Image size 240x240, Brain, Slice index 68, Image width 240 mm
FLAIR MR image.
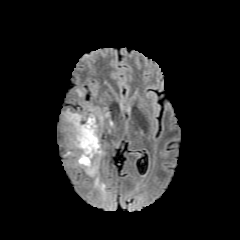
T1-weighted MR image.
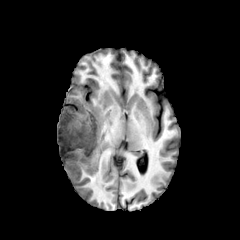
Post-contrast T1-weighted magnetic resonance.
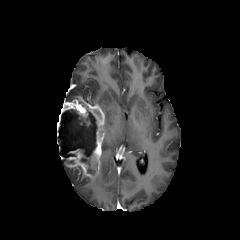
T2-weighted MRI.
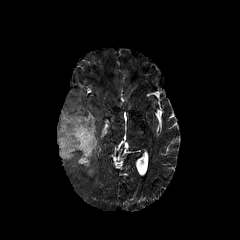
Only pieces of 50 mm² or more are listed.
enhancing_tumor:
  - rect(57, 96, 104, 176)
necrotic_tumor_core:
  - rect(58, 109, 97, 173)
peritumoral_edema:
  - rect(92, 173, 104, 188)